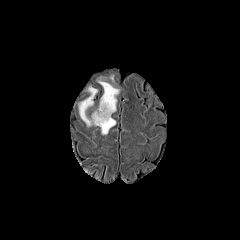
FLAIR MRI.
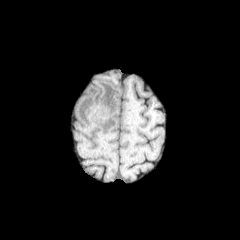
T1-weighted MR.
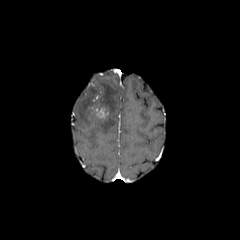
Same slice, post-contrast T1-weighted magnetic resonance.
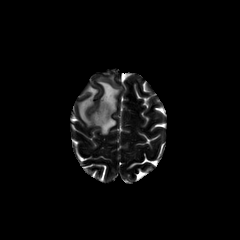
T2-weighted MR image of the same slice.
Brain.
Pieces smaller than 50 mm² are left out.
{
  "peritumoral_edema": [
    "78, 80, 119, 134"
  ],
  "enhancing_tumor": [
    "95, 107, 108, 119"
  ]
}